Image size 240x240; Head
FLAIR MRI.
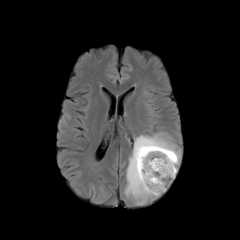
T1-weighted MR.
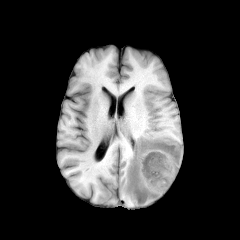
Post-contrast T1-weighted MR image.
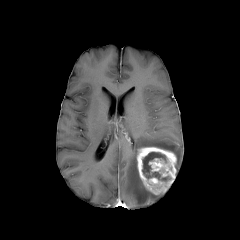
T2-weighted MRI.
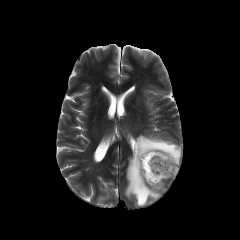
necrotic tumor core: bounding box region(142, 152, 170, 181)
enhancing tumor: bounding box region(136, 147, 176, 195)
peritumoral edema: bounding box region(124, 133, 181, 207)